FLAIR magnetic resonance.
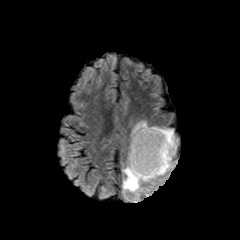
T1-weighted MR.
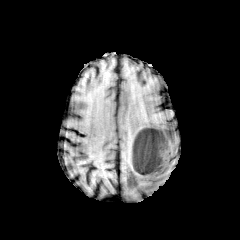
Post-contrast T1-weighted MRI.
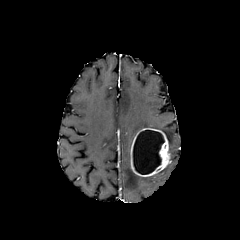
T2-weighted magnetic resonance.
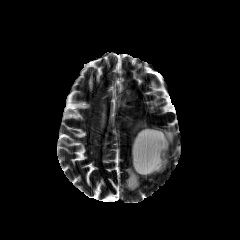
Head
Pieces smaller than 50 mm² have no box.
necrotic tumor core: (x1=133, y1=130, x2=164, y2=174) | peritumoral edema: (x1=123, y1=121, x2=176, y2=191) | enhancing tumor: (x1=130, y1=128, x2=170, y2=176)